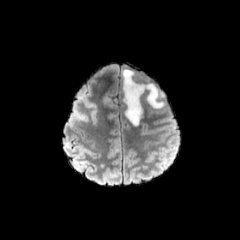
FLAIR magnetic resonance.
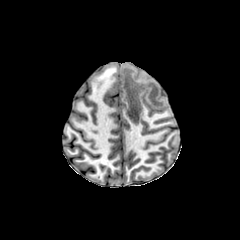
T1-weighted MR image.
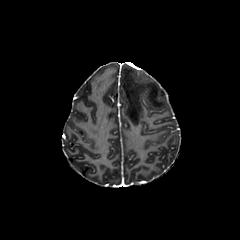
Post-contrast T1-weighted magnetic resonance.
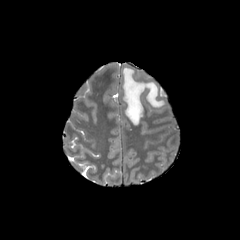
T2-weighted MR.
240x240. Brain.
peritumoral_edema:
  - l=123, t=69, r=164, b=125